Brain. Image width 240 mm. Slice index 89. Axial view.
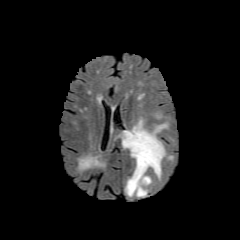
FLAIR magnetic resonance.
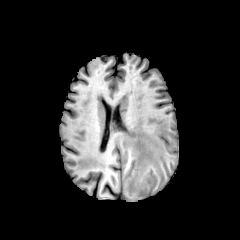
T1-weighted magnetic resonance.
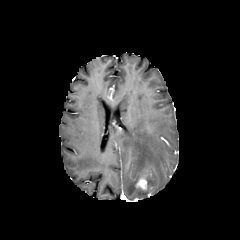
Same slice, post-contrast T1-weighted magnetic resonance.
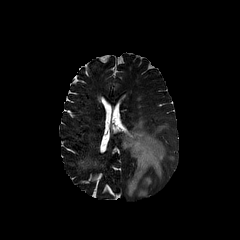
Same slice, T2-weighted magnetic resonance.
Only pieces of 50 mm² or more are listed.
Findings:
- peritumoral edema: 120, 118, 168, 197
- enhancing tumor: 136, 177, 147, 189